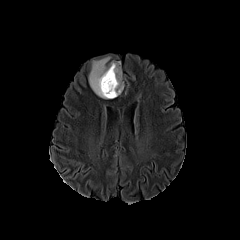
FLAIR MRI.
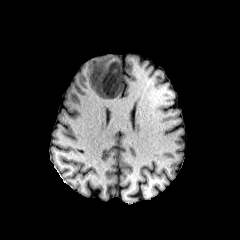
Same slice, T1-weighted MR.
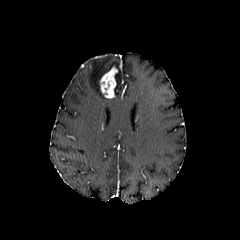
Same slice, post-contrast T1-weighted MR image.
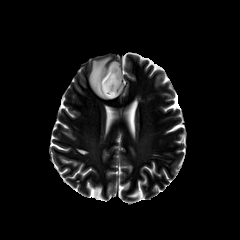
Same slice, T2-weighted MR image.
Brain
<segmentation>
  <enhancing_tumor>box=[99, 66, 117, 98]</enhancing_tumor>
  <peritumoral_edema>box=[89, 57, 123, 99]</peritumoral_edema>
</segmentation>